Slice 56/155 | 240x240 px | Head
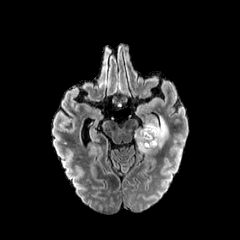
FLAIR MR.
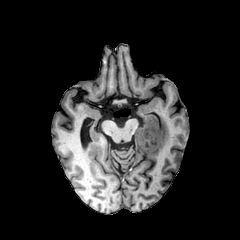
T1-weighted magnetic resonance.
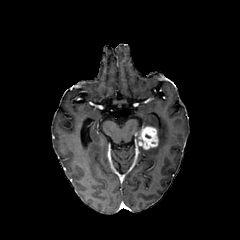
Post-contrast T1-weighted MR of the same slice.
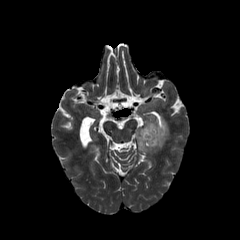
T2-weighted MRI.
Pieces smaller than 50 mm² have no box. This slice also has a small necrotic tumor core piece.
peritumoral_edema:
  - (x1=138, y1=117, x2=168, y2=153)
enhancing_tumor:
  - (x1=134, y1=126, x2=158, y2=149)